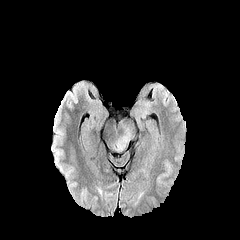
FLAIR MR image.
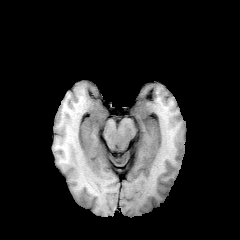
T1-weighted MR image of the same slice.
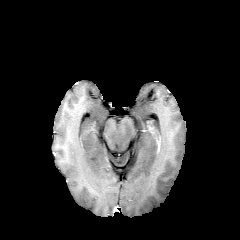
Post-contrast T1-weighted MRI.
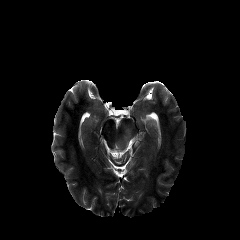
T2-weighted MR image.
Axial slice
<segmentation>
  <peritumoral_edema>(x1=116, y1=127, x2=131, y2=150)</peritumoral_edema>
</segmentation>